FLAIR MR image.
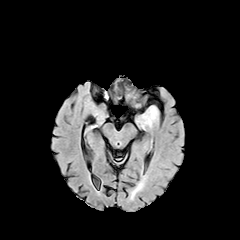
T1-weighted MRI.
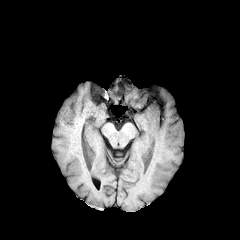
Post-contrast T1-weighted magnetic resonance.
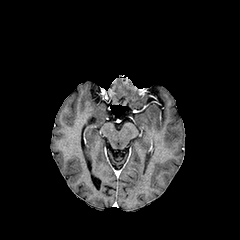
T2-weighted MR.
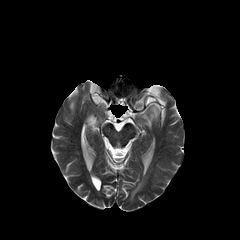
Head
Segmented structures:
- peritumoral edema: 143 106 157 126